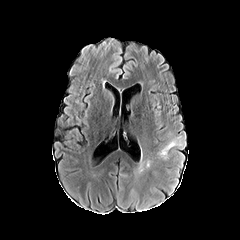
FLAIR MR image.
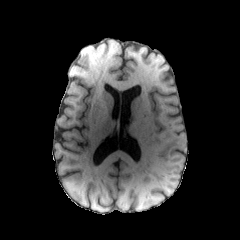
T1-weighted MR image of the same slice.
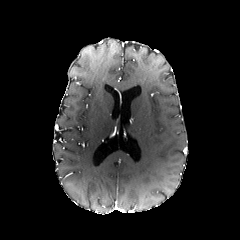
Post-contrast T1-weighted magnetic resonance.
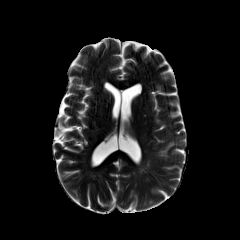
T2-weighted magnetic resonance of the same slice.
The peritumoral edema is at (157, 135, 181, 159).